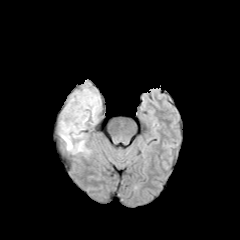
FLAIR magnetic resonance.
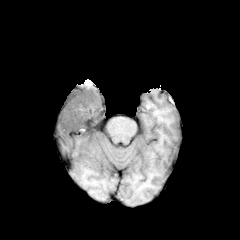
T1-weighted MR image of the same slice.
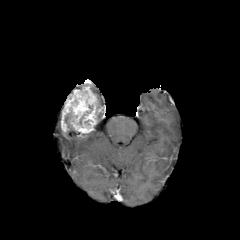
Post-contrast T1-weighted MRI.
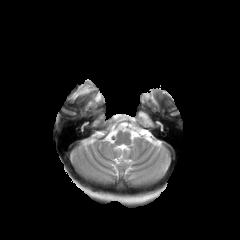
Same slice, T2-weighted magnetic resonance.
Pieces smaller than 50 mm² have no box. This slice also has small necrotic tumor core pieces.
<segmentation>
  <enhancing_tumor>(x1=61, y1=85, x2=101, y2=138)</enhancing_tumor>
  <peritumoral_edema>(x1=64, y1=137, x2=89, y2=154)</peritumoral_edema>
</segmentation>